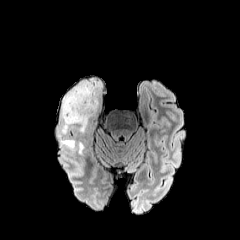
FLAIR MR image.
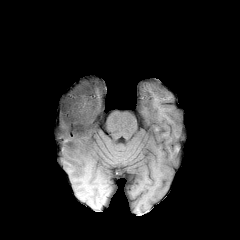
T1-weighted MR image.
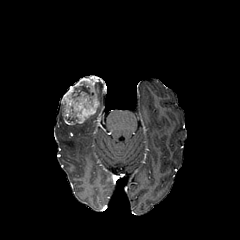
Post-contrast T1-weighted MR image of the same slice.
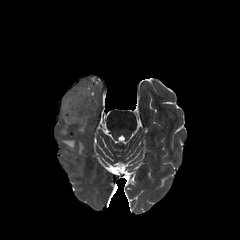
Same slice, T2-weighted MR image.
Axial plane | 240x240 | Head
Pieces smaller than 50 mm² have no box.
{"necrotic_tumor_core": ["bbox(74, 81, 89, 94)"], "enhancing_tumor": ["bbox(62, 76, 99, 124)"], "peritumoral_edema": ["bbox(60, 104, 74, 133)", "bbox(96, 80, 102, 100)", "bbox(62, 140, 75, 148)", "bbox(78, 142, 84, 154)", "bbox(76, 120, 87, 131)"]}